FLAIR MR.
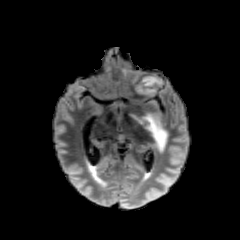
T1-weighted MR image.
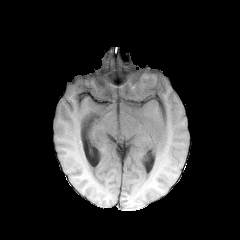
Post-contrast T1-weighted magnetic resonance.
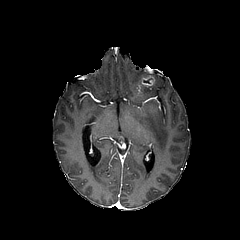
T2-weighted magnetic resonance.
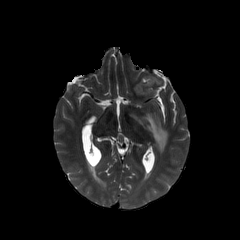
Brain
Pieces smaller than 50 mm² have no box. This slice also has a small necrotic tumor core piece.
peritumoral edema: (x1=135, y1=87, x2=155, y2=94), (x1=143, y1=114, x2=167, y2=151) | enhancing tumor: (x1=137, y1=76, x2=154, y2=92)